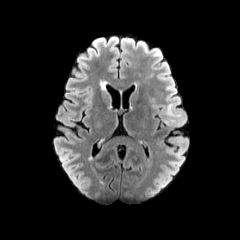
FLAIR MR.
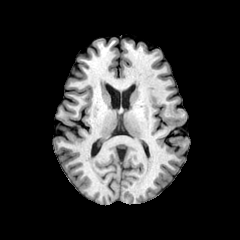
T1-weighted MRI of the same slice.
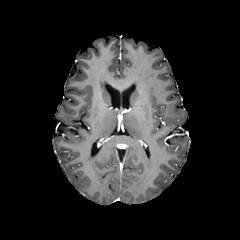
Post-contrast T1-weighted magnetic resonance of the same slice.
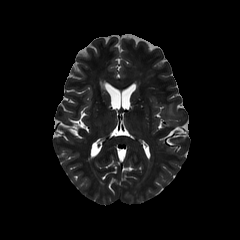
Same slice, T2-weighted MR image.
240x240 px
peritumoral edema — box=[167, 105, 173, 115]